Slice index 49; Brain; 240x240
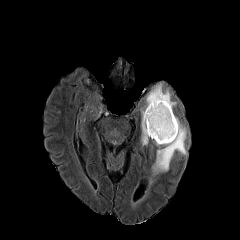
FLAIR magnetic resonance.
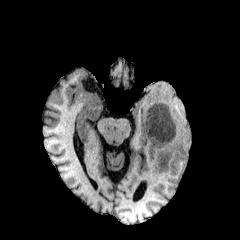
T1-weighted MR image of the same slice.
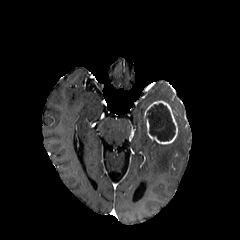
Post-contrast T1-weighted MR.
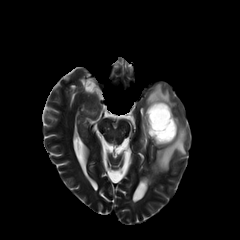
T2-weighted MRI of the same slice.
enhancing tumor: x1=144, y1=100, x2=178, y2=144 | peritumoral edema: x1=140, y1=83, x2=176, y2=145; x1=152, y1=117, x2=187, y2=175 | necrotic tumor core: x1=145, y1=103, x2=175, y2=141